Brain
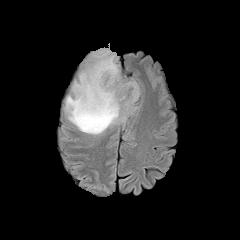
FLAIR MR image.
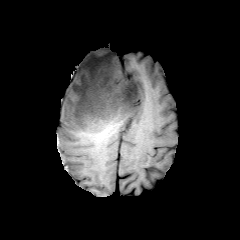
Same slice, T1-weighted magnetic resonance.
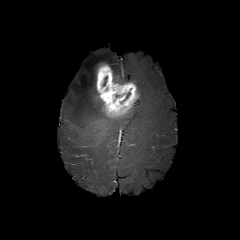
Post-contrast T1-weighted MRI.
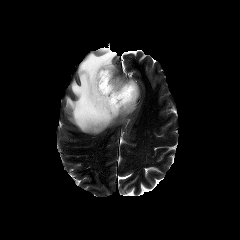
T2-weighted MR of the same slice.
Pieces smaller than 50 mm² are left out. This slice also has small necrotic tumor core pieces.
peritumoral_edema:
  - box=[64, 48, 136, 134]
enhancing_tumor:
  - box=[96, 63, 139, 117]